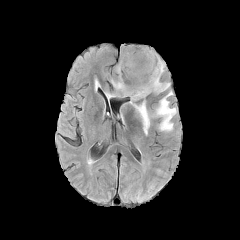
FLAIR MRI.
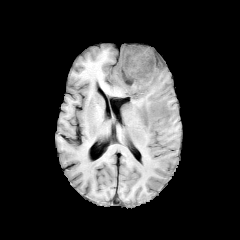
T1-weighted MR of the same slice.
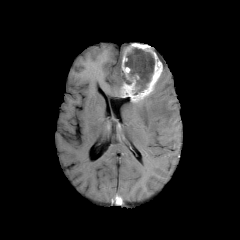
Post-contrast T1-weighted MR image.
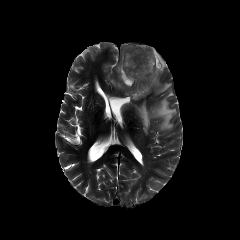
T2-weighted MR of the same slice.
Axial slice; Head
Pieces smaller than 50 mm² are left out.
{"necrotic_tumor_core": ["125, 48, 154, 94", "121, 69, 131, 84"], "peritumoral_edema": ["98, 62, 128, 97", "130, 78, 176, 134"], "enhancing_tumor": ["121, 43, 163, 102"]}